Brain; Axial plane; Slice index 59
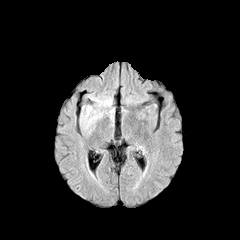
FLAIR MR.
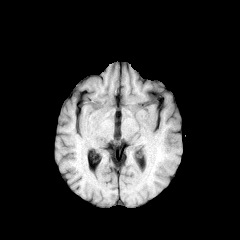
T1-weighted MR of the same slice.
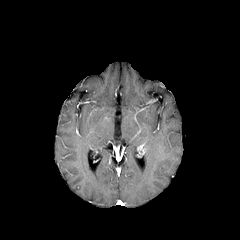
Post-contrast T1-weighted magnetic resonance.
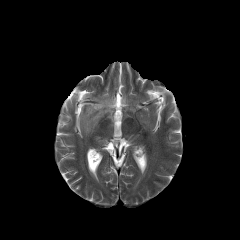
T2-weighted MR.
Annotated regions:
- peritumoral edema: region(81, 94, 115, 135)